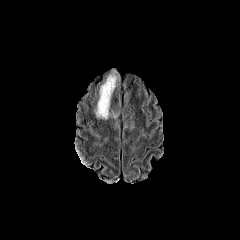
FLAIR magnetic resonance.
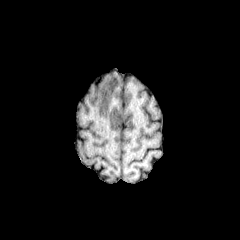
T1-weighted MR image.
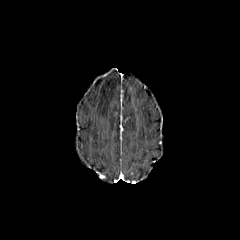
Same slice, post-contrast T1-weighted MR image.
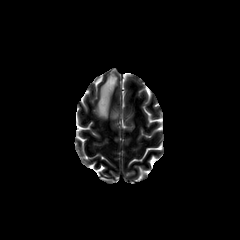
T2-weighted magnetic resonance.
240x240 px; Axial view
Segmented structures:
* peritumoral edema: [x1=96, y1=74, x2=116, y2=118]